Brain, Slice 62 of 155
FLAIR magnetic resonance.
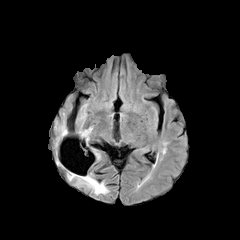
T1-weighted magnetic resonance.
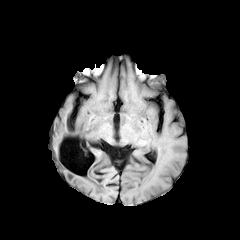
Post-contrast T1-weighted MR.
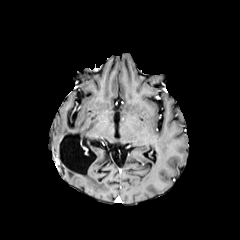
T2-weighted MR image.
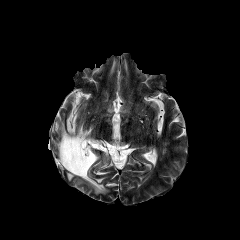
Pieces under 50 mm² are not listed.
peritumoral edema = rect(80, 131, 89, 140); rect(70, 172, 107, 194); rect(55, 123, 66, 136)